FLAIR MR image.
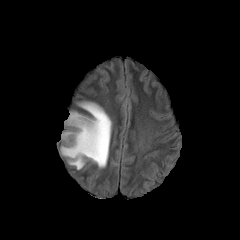
T1-weighted magnetic resonance.
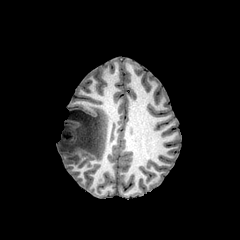
Post-contrast T1-weighted magnetic resonance.
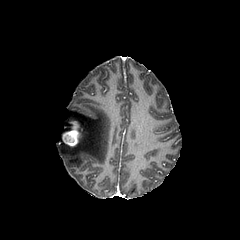
T2-weighted MRI.
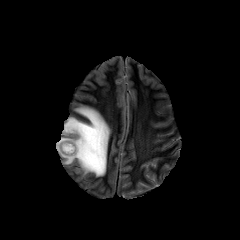
The peritumoral edema appears at [x1=60, y1=102, x2=111, y2=170]. The enhancing tumor is at [x1=63, y1=121, x2=79, y2=146].